FLAIR MRI.
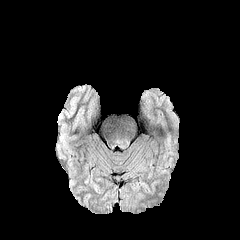
T1-weighted MRI.
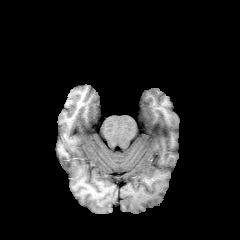
Post-contrast T1-weighted MR.
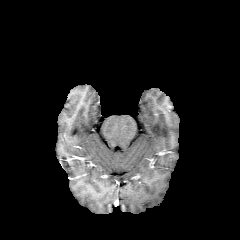
T2-weighted MR image.
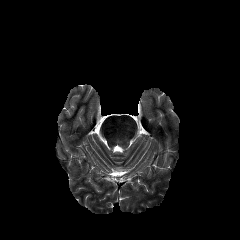
Head
peritumoral_edema:
  - left=116, top=138, right=128, bottom=148